FLAIR MR.
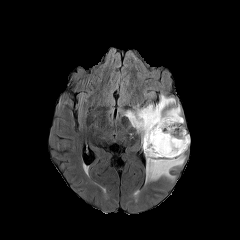
T1-weighted MR.
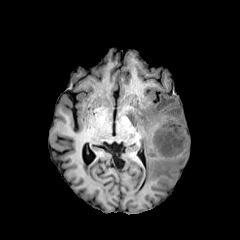
Post-contrast T1-weighted MRI.
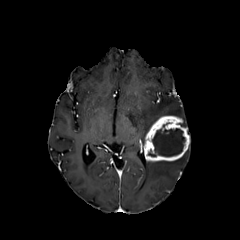
T2-weighted MR image.
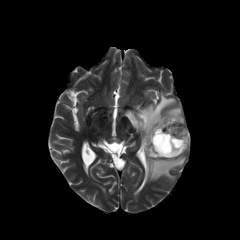
Brain.
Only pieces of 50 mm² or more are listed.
enhancing_tumor:
  - l=143, t=115, r=190, b=161
peritumoral_edema:
  - l=125, t=95, r=183, b=145
  - l=146, t=154, r=185, b=181
necrotic_tumor_core:
  - l=152, t=128, r=185, b=156